Brain
FLAIR MR.
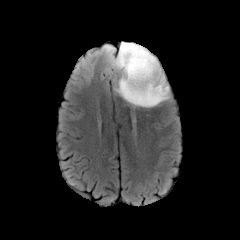
T1-weighted MRI.
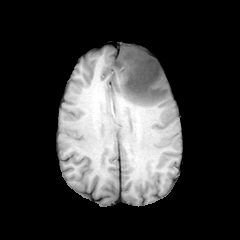
Post-contrast T1-weighted magnetic resonance.
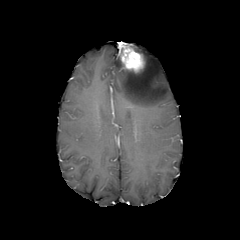
T2-weighted MR.
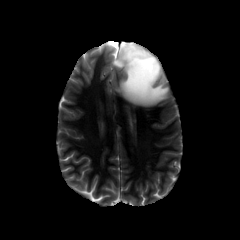
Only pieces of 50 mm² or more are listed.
enhancing tumor: bounding box 118:42:145:72
peritumoral edema: bounding box 107:44:170:107